240x240 px
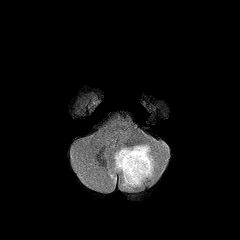
FLAIR MR.
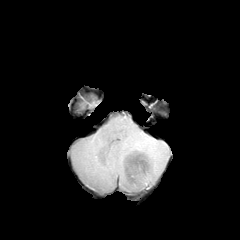
T1-weighted magnetic resonance.
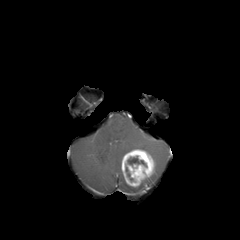
Post-contrast T1-weighted MR image of the same slice.
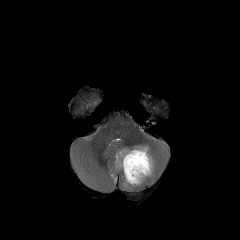
T2-weighted MR image of the same slice.
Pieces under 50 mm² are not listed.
The peritumoral edema is located at 108,144,159,190. The enhancing tumor appears at 121,149,154,186. The largest necrotic tumor core region appears at 127,156,146,166.